Image width 240 mm, 1.00 mm slice spacing, Axial view, Image size 240x240
FLAIR MR image.
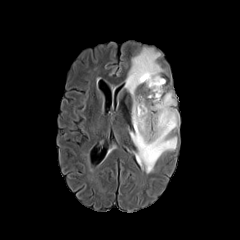
T1-weighted magnetic resonance.
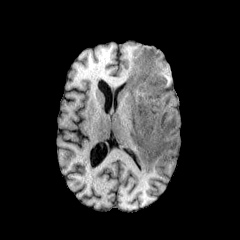
Post-contrast T1-weighted magnetic resonance.
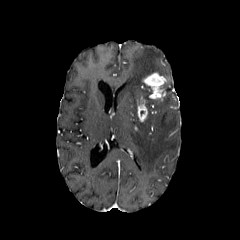
T2-weighted MR.
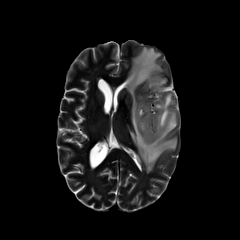
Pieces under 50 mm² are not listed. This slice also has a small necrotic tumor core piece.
enhancing_tumor:
  - (left=142, top=72, right=165, bottom=100)
  - (left=137, top=96, right=148, bottom=122)
peritumoral_edema:
  - (left=125, top=47, right=178, bottom=173)